Head | Axial slice
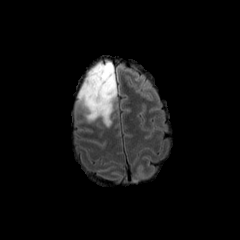
FLAIR MR image.
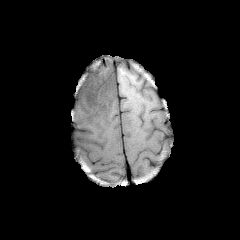
T1-weighted MR image.
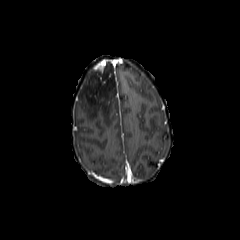
Post-contrast T1-weighted MR.
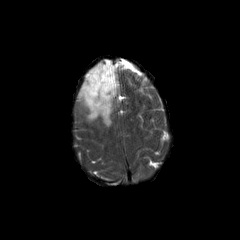
Same slice, T2-weighted MRI.
* peritumoral edema: region(77, 61, 117, 127)
* enhancing tumor: region(93, 61, 103, 72)